FLAIR MRI.
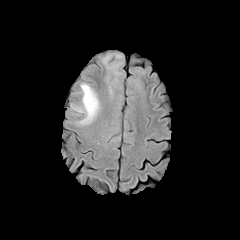
T1-weighted magnetic resonance.
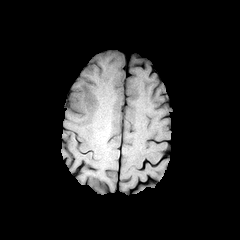
Post-contrast T1-weighted magnetic resonance.
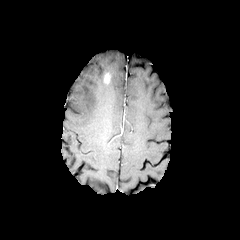
T2-weighted MR image.
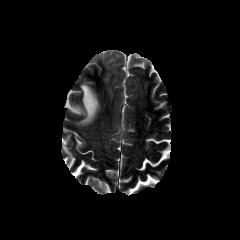
Brain. Axial plane.
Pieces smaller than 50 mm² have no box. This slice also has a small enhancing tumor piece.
- peritumoral edema: l=102, t=55, r=119, b=74; l=70, t=82, r=99, b=125